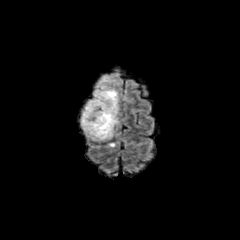
FLAIR magnetic resonance.
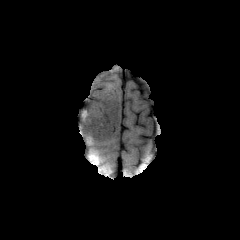
T1-weighted MRI.
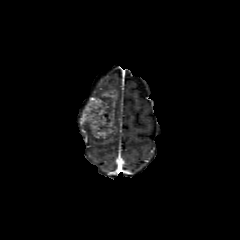
Post-contrast T1-weighted magnetic resonance.
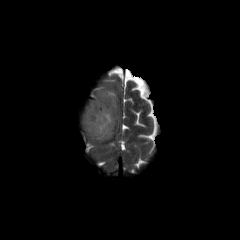
Same slice, T2-weighted MR.
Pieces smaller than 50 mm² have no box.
{"enhancing_tumor": ["bbox=[80, 90, 117, 138]"], "peritumoral_edema": ["bbox=[90, 86, 116, 97]", "bbox=[82, 124, 114, 141]", "bbox=[116, 97, 118, 125]"], "necrotic_tumor_core": ["bbox=[102, 106, 111, 122]"]}